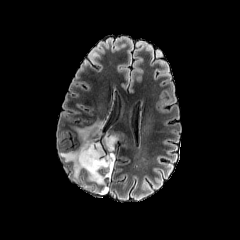
FLAIR magnetic resonance.
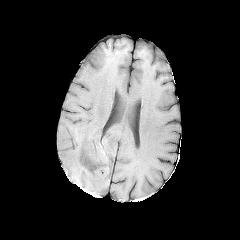
T1-weighted magnetic resonance.
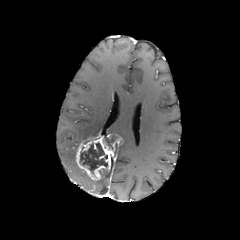
Post-contrast T1-weighted magnetic resonance.
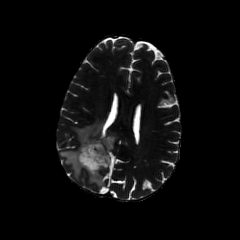
T2-weighted magnetic resonance.
240x240. Axial plane. Brain.
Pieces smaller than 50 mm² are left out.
peritumoral edema: 89, 168, 112, 183; 76, 118, 103, 142; 60, 150, 81, 178 | necrotic tumor core: 80, 142, 107, 173 | enhancing tumor: 75, 131, 119, 180